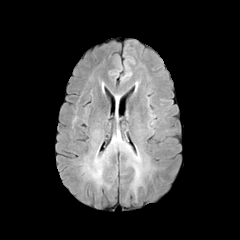
FLAIR MR.
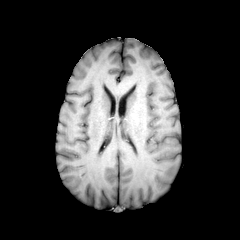
T1-weighted magnetic resonance.
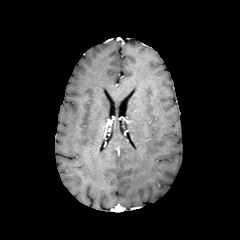
Post-contrast T1-weighted MRI.
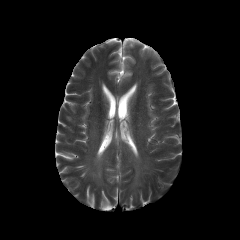
T2-weighted MRI.
Brain | 240x240 px
2 peritumoral edema regions appear at bbox=[86, 155, 104, 183]; bbox=[113, 133, 148, 192].